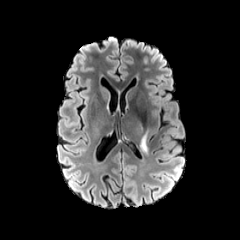
FLAIR MR.
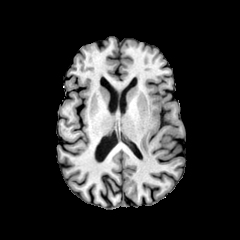
T1-weighted MR image of the same slice.
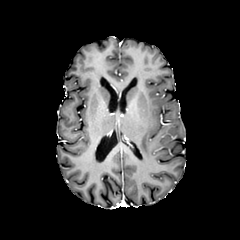
Post-contrast T1-weighted MRI.
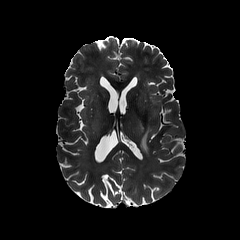
T2-weighted MR image.
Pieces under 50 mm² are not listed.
{
  "peritumoral_edema": [
    "x1=138, y1=125, x2=150, y2=156"
  ]
}